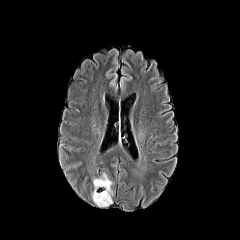
FLAIR MRI.
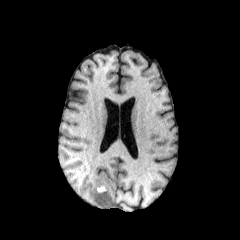
Same slice, T1-weighted MR.
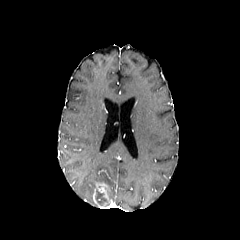
Post-contrast T1-weighted magnetic resonance.
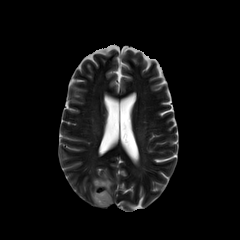
Same slice, T2-weighted MR image.
Image size 240x240, Head
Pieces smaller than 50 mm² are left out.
Findings:
- enhancing tumor: bbox=[92, 182, 112, 207]
- peritumoral edema: bbox=[93, 173, 112, 198]
- necrotic tumor core: bbox=[96, 190, 106, 204]